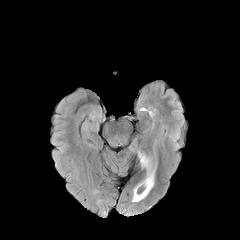
FLAIR MR.
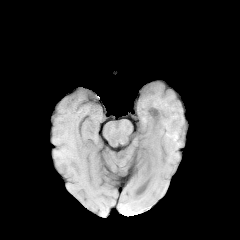
Same slice, T1-weighted MR.
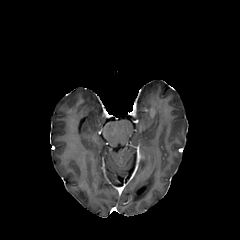
Post-contrast T1-weighted MRI of the same slice.
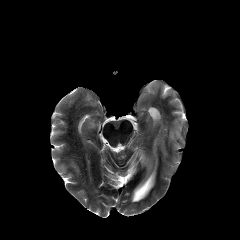
T2-weighted magnetic resonance.
Axial view; Brain
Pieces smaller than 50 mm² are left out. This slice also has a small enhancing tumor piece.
Annotated regions:
• peritumoral edema: [132,152,155,201]